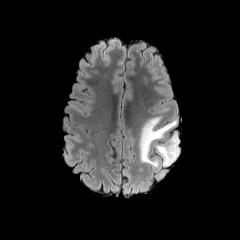
FLAIR MR.
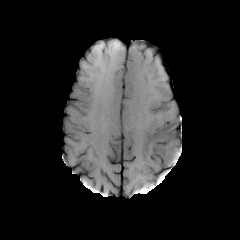
T1-weighted MR.
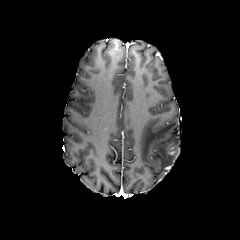
Same slice, post-contrast T1-weighted MR image.
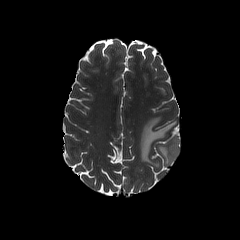
T2-weighted MR of the same slice.
Axial slice; 240x240 px; Brain
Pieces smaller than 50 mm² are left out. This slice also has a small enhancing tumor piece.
peritumoral edema = box=[155, 134, 179, 166]; box=[139, 116, 176, 168]